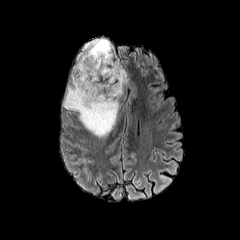
FLAIR MR image.
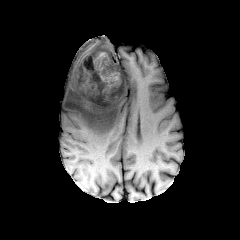
T1-weighted magnetic resonance.
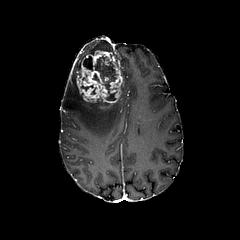
Post-contrast T1-weighted MRI.
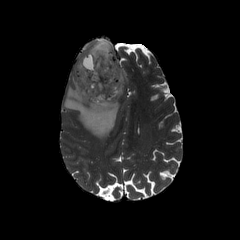
T2-weighted MRI.
Head | Axial slice | 240x240 px
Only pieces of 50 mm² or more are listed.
necrotic_tumor_core:
  - 83,55,117,100
enhancing_tumor:
  - 76,50,123,108
peritumoral_edema:
  - 63,39,119,137
  - 121,66,127,94